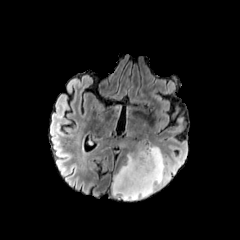
FLAIR MR.
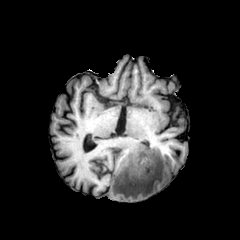
T1-weighted MRI of the same slice.
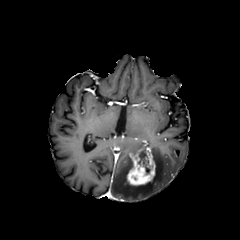
Post-contrast T1-weighted MRI of the same slice.
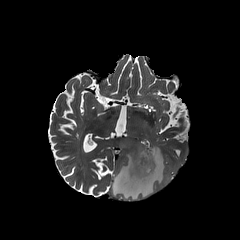
T2-weighted MR.
Image size 240x240; Brain; Axial slice
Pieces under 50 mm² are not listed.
<segmentation>
  <peritumoral_edema>111,146,167,200</peritumoral_edema>
  <necrotic_tumor_core>136,150,150,173</necrotic_tumor_core>
  <enhancing_tumor>126,147,155,185</enhancing_tumor>
</segmentation>